FLAIR MRI.
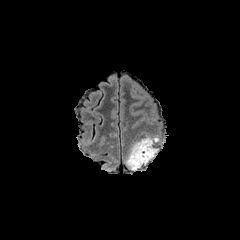
T1-weighted magnetic resonance.
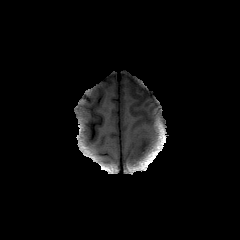
Post-contrast T1-weighted MR.
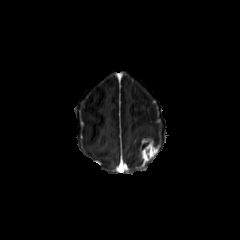
T2-weighted MR.
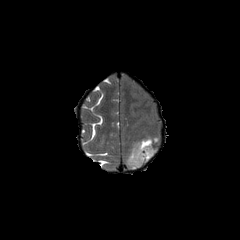
Brain, Axial view
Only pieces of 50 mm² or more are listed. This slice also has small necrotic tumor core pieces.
peritumoral edema — <bbox>126, 138, 143, 169</bbox>, <bbox>143, 134, 160, 145</bbox>
enhancing tumor — <bbox>139, 137, 158, 163</bbox>